FLAIR magnetic resonance.
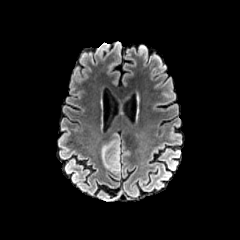
T1-weighted magnetic resonance.
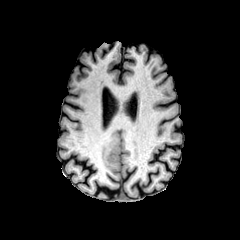
Post-contrast T1-weighted MR image.
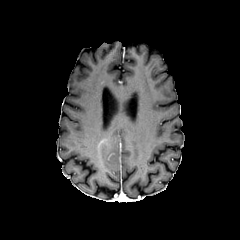
T2-weighted magnetic resonance.
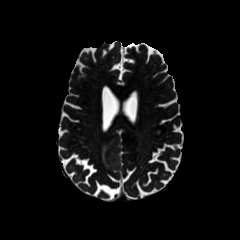
Axial slice; Brain
<segmentation>
  <peritumoral_edema><box>101,131,120,172</box></peritumoral_edema>
</segmentation>